Slice index 112, Image width 240 mm, Image size 240x240
FLAIR MR image.
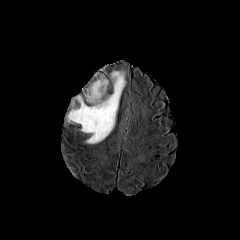
T1-weighted magnetic resonance.
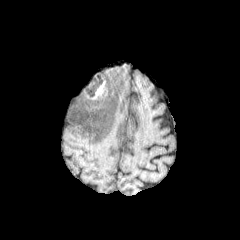
Post-contrast T1-weighted MR.
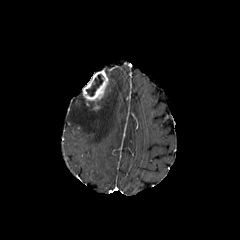
T2-weighted MR image.
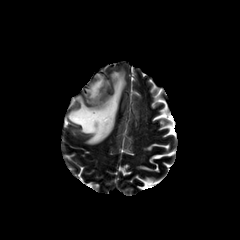
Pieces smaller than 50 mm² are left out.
The largest peritumoral edema region appears at x1=67 y1=71 x2=125 y2=144. The largest enhancing tumor region appears at x1=82 y1=70 x2=108 y2=101. The necrotic tumor core appears at x1=86 y1=74 x2=103 y2=96.